Brain, Axial plane, 240x240
FLAIR MRI.
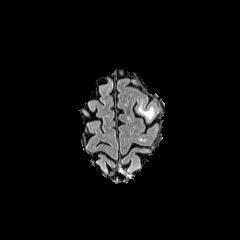
T1-weighted magnetic resonance.
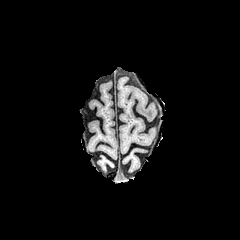
Post-contrast T1-weighted MRI.
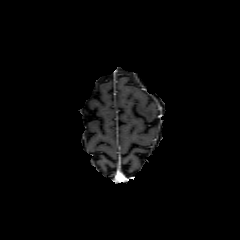
T2-weighted magnetic resonance.
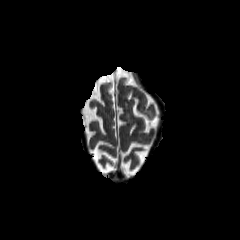
peritumoral_edema:
  - (x1=138, y1=103, x2=154, y2=119)